FLAIR MR image.
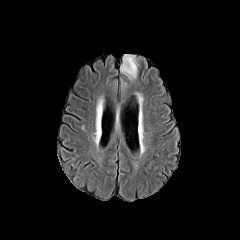
T1-weighted MR.
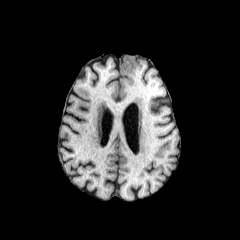
Post-contrast T1-weighted MR image.
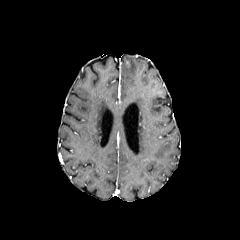
T2-weighted MR.
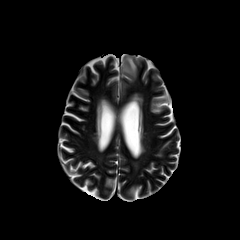
Brain. 240x240.
The peritumoral edema is bounded by [120,54,137,80].